Head. Slice index 90. 240x240.
FLAIR magnetic resonance.
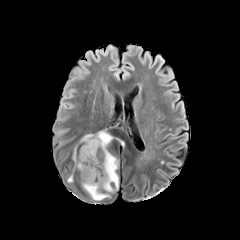
T1-weighted MRI.
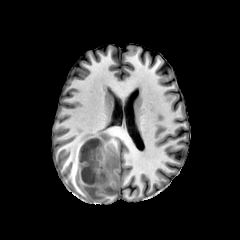
Post-contrast T1-weighted magnetic resonance.
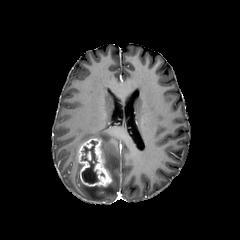
T2-weighted magnetic resonance.
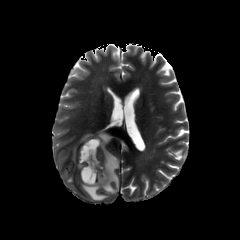
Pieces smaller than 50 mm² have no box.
necrotic tumor core: bounding box (81,140,98,183)
peritumoral edema: bounding box (79,131,118,193), (82,183,110,200), (72,145,83,169)
enhancing tumor: bounding box (78,138,112,186)